Slice index 99; Brain
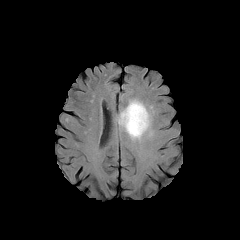
FLAIR MRI.
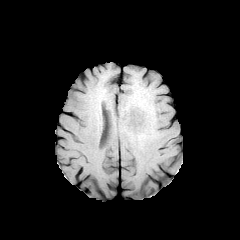
T1-weighted MR image.
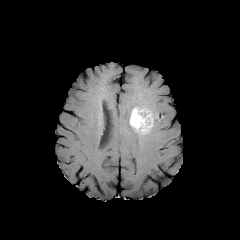
Post-contrast T1-weighted MRI.
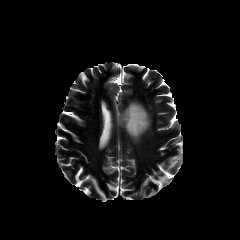
Same slice, T2-weighted MRI.
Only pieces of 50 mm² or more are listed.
peritumoral edema: bounding box left=117, top=100, right=152, bottom=140
enhancing tumor: bounding box left=129, top=107, right=152, bottom=133